Brain.
FLAIR magnetic resonance.
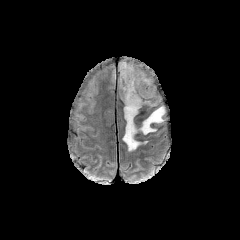
T1-weighted MR.
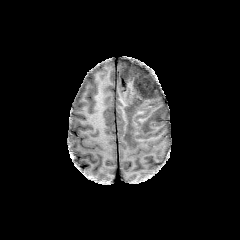
Post-contrast T1-weighted magnetic resonance.
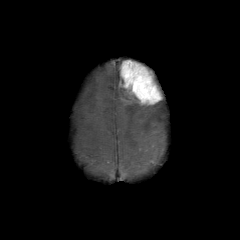
T2-weighted MR image.
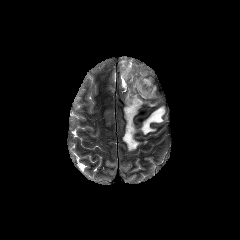
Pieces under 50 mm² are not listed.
<segmentation>
  <peritumoral_edema>[123,93,140,150], [140,106,165,134]</peritumoral_edema>
  <enhancing_tumor>[119,60,165,105]</enhancing_tumor>
</segmentation>